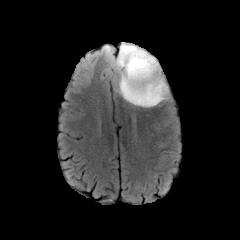
FLAIR magnetic resonance.
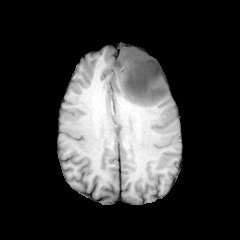
Same slice, T1-weighted MR.
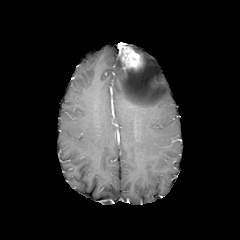
Same slice, post-contrast T1-weighted MRI.
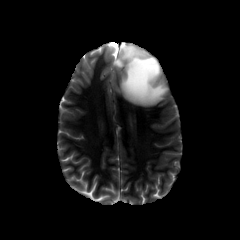
T2-weighted MRI of the same slice.
Head, 240x240
<segmentation>
  <enhancing_tumor>region(119, 42, 143, 69)</enhancing_tumor>
  <peritumoral_edema>region(108, 44, 168, 107)</peritumoral_edema>
</segmentation>